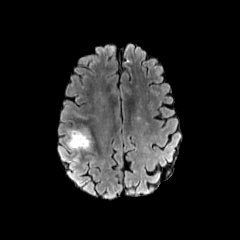
FLAIR MR.
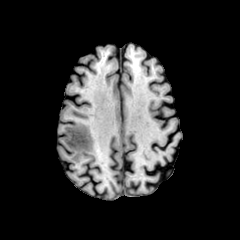
T1-weighted MRI of the same slice.
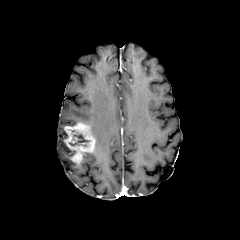
Post-contrast T1-weighted magnetic resonance of the same slice.
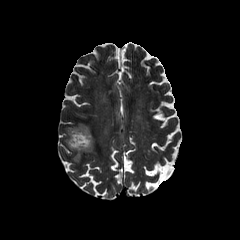
T2-weighted MR image.
Axial view. 240x240 px. Head.
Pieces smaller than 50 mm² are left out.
enhancing tumor at rect(64, 123, 95, 163)
necrotic tumor core at rect(69, 134, 89, 145)